Slice index 85, 240x240 px
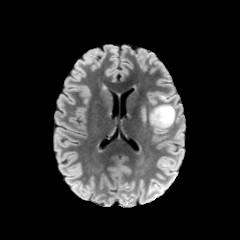
FLAIR magnetic resonance.
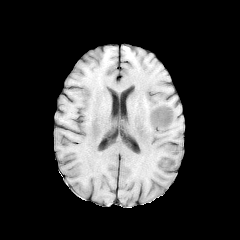
T1-weighted MR.
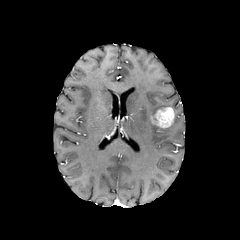
Post-contrast T1-weighted MR.
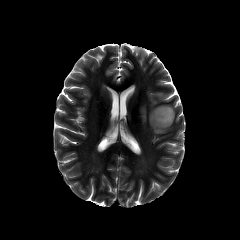
T2-weighted MR of the same slice.
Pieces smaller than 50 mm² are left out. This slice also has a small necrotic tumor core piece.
The 2 largest peritumoral edema regions appear at (149, 104, 178, 132), (149, 92, 170, 104). The enhancing tumor is at (151, 107, 174, 127).